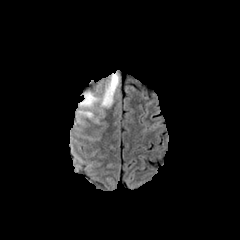
FLAIR MR.
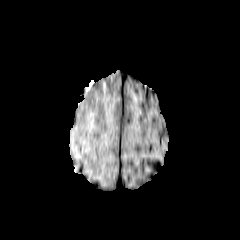
T1-weighted MR.
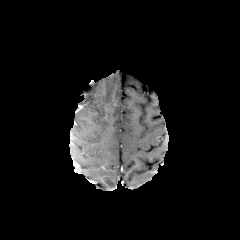
Same slice, post-contrast T1-weighted MR.
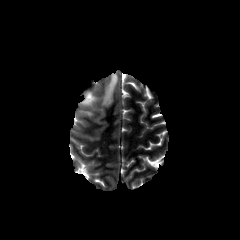
Same slice, T2-weighted MR image.
Brain; Axial view
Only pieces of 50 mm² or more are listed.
peritumoral edema: (102,74,118,106), (81,90,98,106)